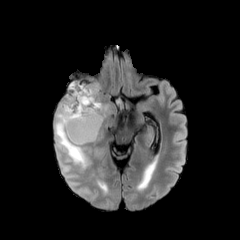
FLAIR MR.
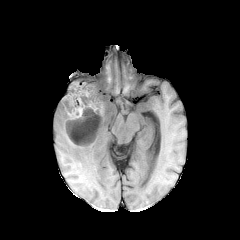
Same slice, T1-weighted magnetic resonance.
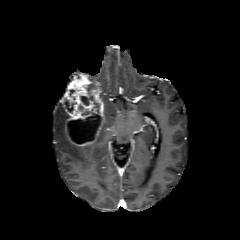
Same slice, post-contrast T1-weighted MR.
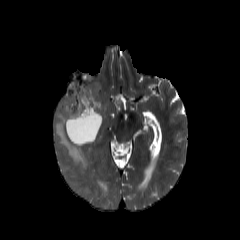
T2-weighted MR of the same slice.
Axial plane | Head | Image size 240x240
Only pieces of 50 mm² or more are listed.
The enhancing tumor is located at x1=62 y1=77 x2=104 y2=146. The largest peritumoral edema region is located at x1=54 y1=103 x2=91 y2=167. The 3 largest necrotic tumor core regions appear at x1=80 y1=96 x2=93 y2=105, x1=65 y1=99 x2=76 y2=112, x1=67 y1=113 x2=101 y2=143.